Image width 240 mm, Slice index 55
FLAIR MRI.
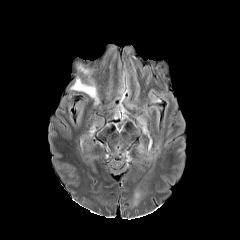
T1-weighted MR image.
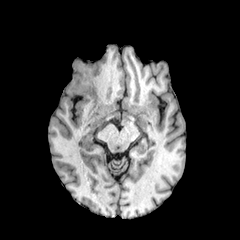
Post-contrast T1-weighted MRI.
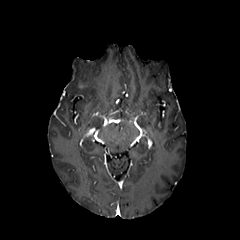
T2-weighted MR.
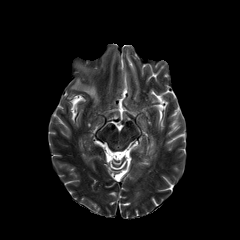
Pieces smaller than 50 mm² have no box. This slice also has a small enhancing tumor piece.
peritumoral edema: left=71, top=78, right=98, bottom=103